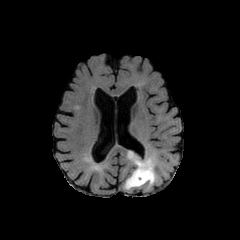
FLAIR MR.
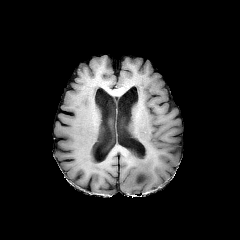
T1-weighted MRI of the same slice.
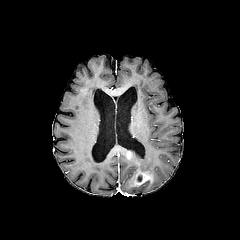
Post-contrast T1-weighted magnetic resonance.
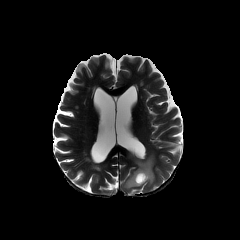
T2-weighted MR image.
240x240 px.
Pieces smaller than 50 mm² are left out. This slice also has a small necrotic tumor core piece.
peritumoral edema = [123,151,157,190]
enhancing tumor = [129,169,153,186]